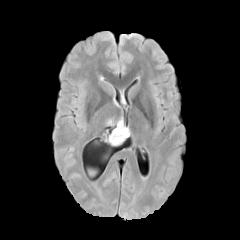
FLAIR MR image.
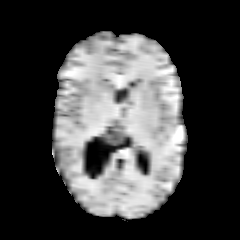
T1-weighted MR image.
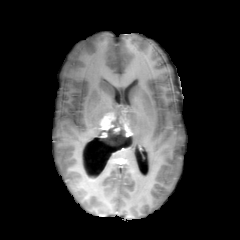
Post-contrast T1-weighted magnetic resonance.
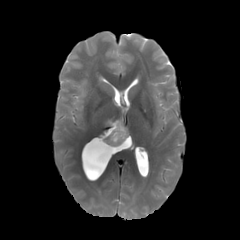
T2-weighted MR.
Axial view.
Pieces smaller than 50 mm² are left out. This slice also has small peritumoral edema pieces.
necrotic tumor core: left=103, top=129, right=126, bottom=146 | enhancing tumor: left=100, top=114, right=115, bottom=137; left=113, top=116, right=131, bottom=136